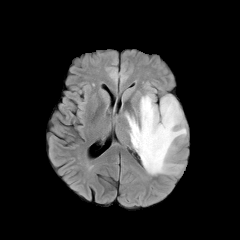
FLAIR MR image.
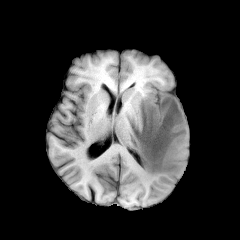
T1-weighted MR image of the same slice.
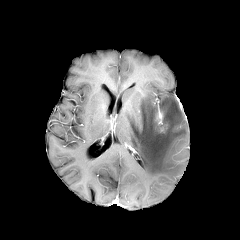
Post-contrast T1-weighted MR.
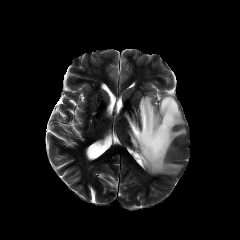
T2-weighted MR of the same slice.
Brain.
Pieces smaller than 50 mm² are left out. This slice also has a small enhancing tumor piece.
{"peritumoral_edema": ["x1=125 y1=94 x2=186 y2=174"]}